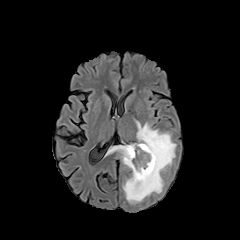
FLAIR MRI.
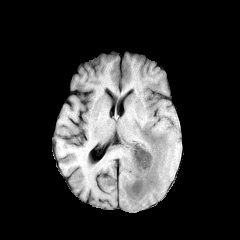
T1-weighted magnetic resonance of the same slice.
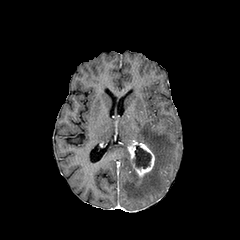
Same slice, post-contrast T1-weighted MR.
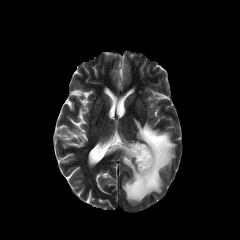
Same slice, T2-weighted MRI.
Brain
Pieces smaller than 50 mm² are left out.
peritumoral edema: bounding box bbox=[110, 121, 176, 203]
necrotic tumor core: bounding box bbox=[133, 145, 151, 168]
enhancing tumor: bounding box bbox=[127, 142, 154, 179]